FLAIR MR image.
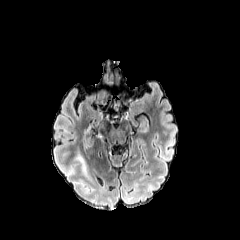
T1-weighted MRI.
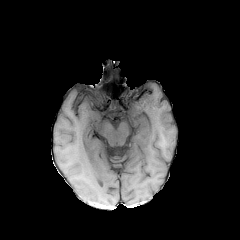
Post-contrast T1-weighted MR.
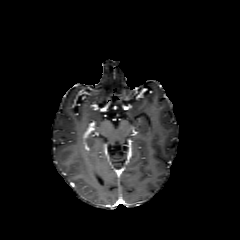
T2-weighted MR image.
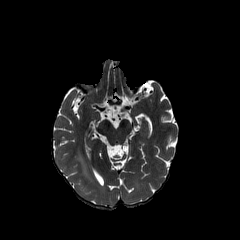
peritumoral edema at x1=77 y1=154 x2=86 y2=173